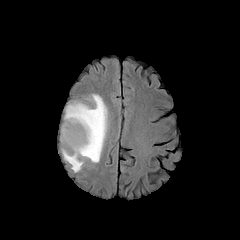
FLAIR magnetic resonance.
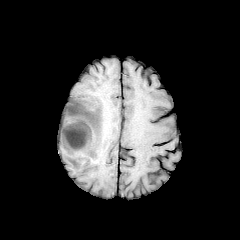
T1-weighted MRI.
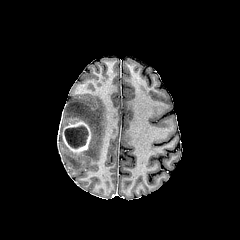
Same slice, post-contrast T1-weighted magnetic resonance.
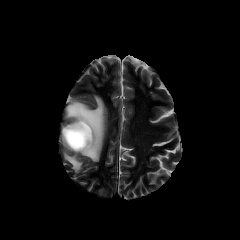
T2-weighted MRI of the same slice.
Brain | Axial view
• peritumoral edema: [61,94,107,172]
• necrotic tumor core: [64,126,87,148]
• enhancing tumor: [62,119,91,153]